FLAIR MR.
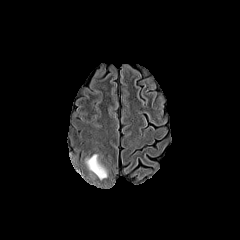
T1-weighted MRI.
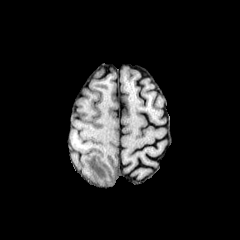
Post-contrast T1-weighted MR.
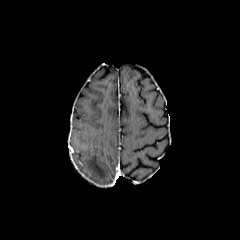
T2-weighted MR image.
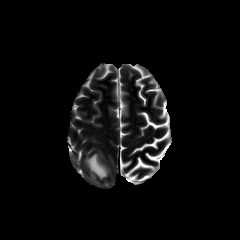
240x240 px
peritumoral edema: bounding box bbox(85, 154, 107, 179)